Brain
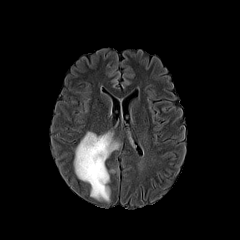
FLAIR MRI.
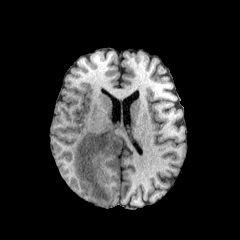
T1-weighted magnetic resonance.
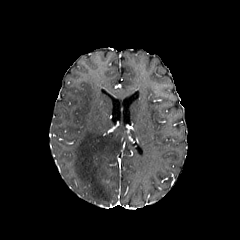
Post-contrast T1-weighted MR of the same slice.
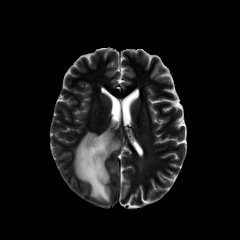
Same slice, T2-weighted magnetic resonance.
The peritumoral edema lies within (74, 132, 119, 201).